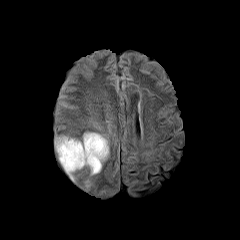
FLAIR MR image.
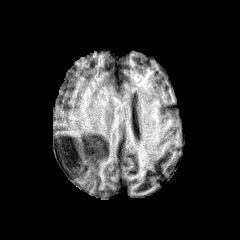
T1-weighted MR image.
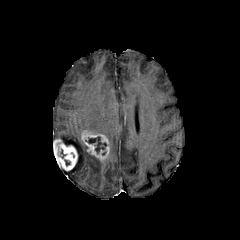
Same slice, post-contrast T1-weighted MRI.
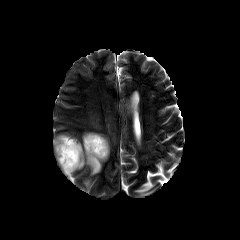
T2-weighted magnetic resonance of the same slice.
Brain
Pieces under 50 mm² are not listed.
The largest necrotic tumor core region lies within (x1=88, y1=137, x2=106, y2=152). The largest peritumoral edema region is bounded by (x1=56, y1=135, x2=102, y2=180). The 2 largest enhancing tumor regions are bounded by (x1=53, y1=138, x2=78, y2=171), (x1=81, y1=132, x2=109, y2=161).